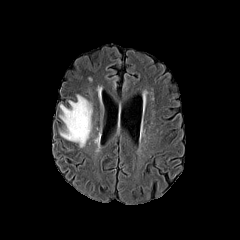
FLAIR MRI.
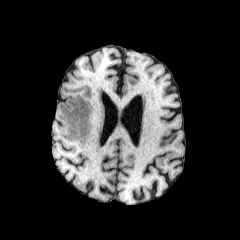
T1-weighted magnetic resonance of the same slice.
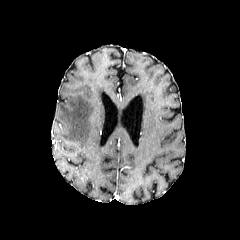
Post-contrast T1-weighted magnetic resonance of the same slice.
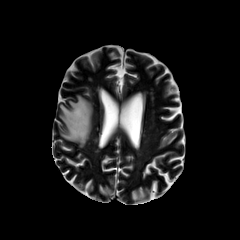
T2-weighted MRI of the same slice.
Brain
The peritumoral edema is bounded by [x1=59, y1=95, x2=92, y2=147].